Axial slice; Brain; 240x240 px; Image covers 240 mm x 240 mm
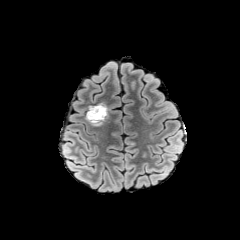
FLAIR MR image.
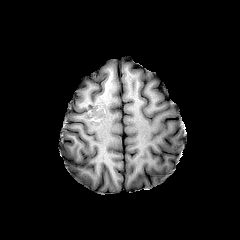
T1-weighted MRI.
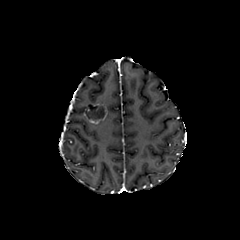
Same slice, post-contrast T1-weighted MRI.
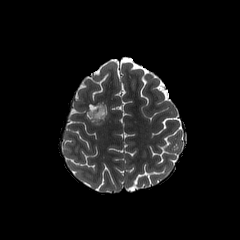
Same slice, T2-weighted MR image.
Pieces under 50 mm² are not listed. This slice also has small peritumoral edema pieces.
Annotated regions:
• necrotic tumor core: (87, 106, 104, 119)
• enhancing tumor: (85, 103, 107, 124)